Axial view. Slice 94/155. 240x240.
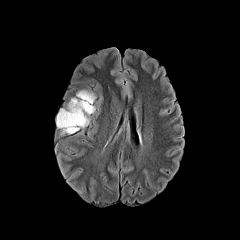
FLAIR MR image.
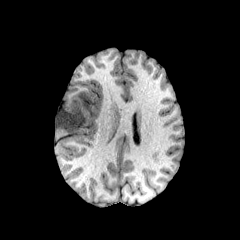
T1-weighted MRI.
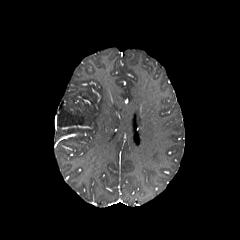
Same slice, post-contrast T1-weighted magnetic resonance.
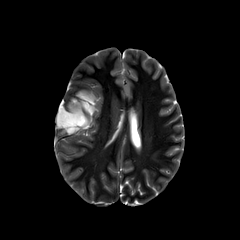
T2-weighted MR image.
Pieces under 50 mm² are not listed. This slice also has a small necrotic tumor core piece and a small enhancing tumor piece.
2 peritumoral edema regions are bounded by 57,90,95,127; 62,128,79,133.